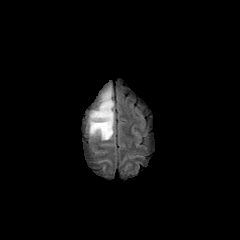
FLAIR MR image.
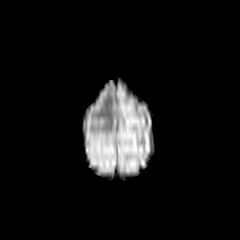
T1-weighted MR.
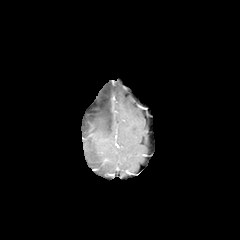
Post-contrast T1-weighted MR image of the same slice.
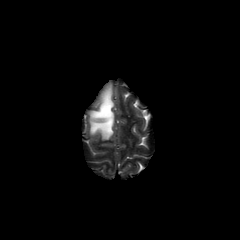
T2-weighted magnetic resonance of the same slice.
240x240
The peritumoral edema is bounded by region(89, 86, 114, 140).